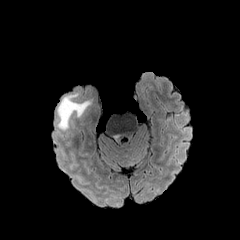
FLAIR MRI.
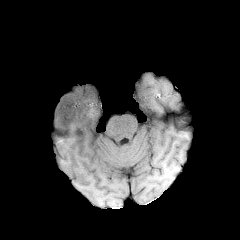
T1-weighted MR.
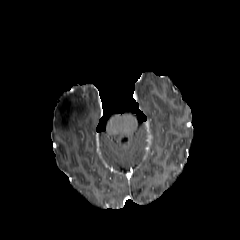
Post-contrast T1-weighted MRI.
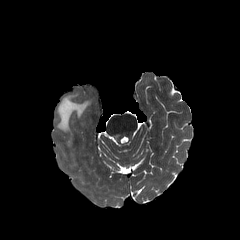
T2-weighted MRI.
Head
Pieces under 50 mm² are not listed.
peritumoral edema — (57, 92, 89, 131)